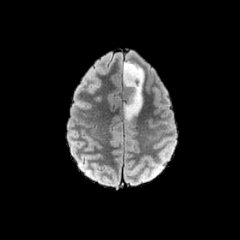
FLAIR magnetic resonance.
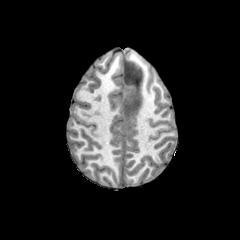
T1-weighted magnetic resonance.
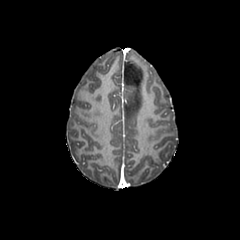
Post-contrast T1-weighted magnetic resonance.
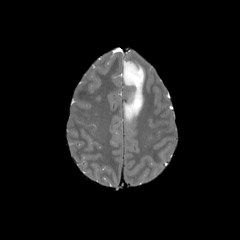
T2-weighted magnetic resonance.
Brain; Axial slice
peritumoral edema: bounding box (left=123, top=61, right=143, bottom=122)